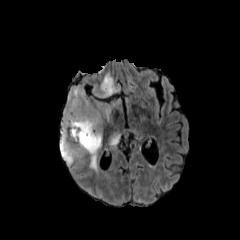
FLAIR MRI.
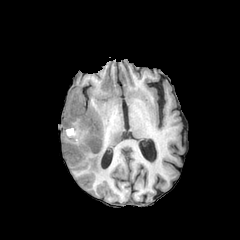
Same slice, T1-weighted MR image.
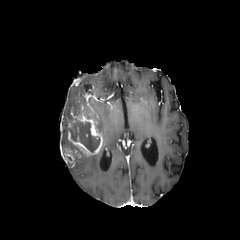
Same slice, post-contrast T1-weighted MR image.
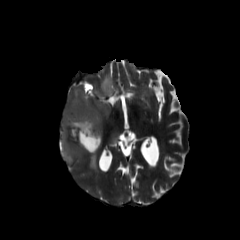
Same slice, T2-weighted MRI.
Axial plane; Head
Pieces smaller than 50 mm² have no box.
Findings:
• necrotic tumor core: 62:140:78:150, 66:118:99:152
• enhancing tumor: 60:95:103:165
• peritumoral edema: 88:148:104:172, 108:130:120:148, 63:73:122:131